Slice 51 of 155
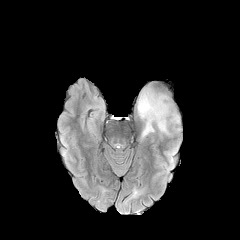
FLAIR MR.
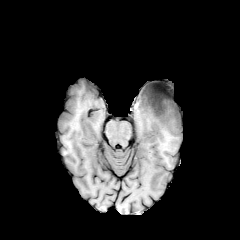
Same slice, T1-weighted MR image.
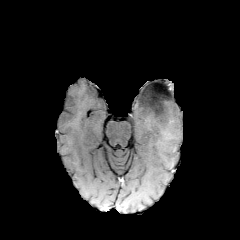
Post-contrast T1-weighted magnetic resonance of the same slice.
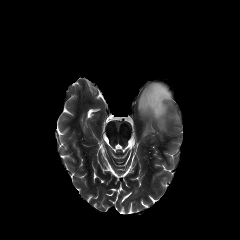
T2-weighted magnetic resonance.
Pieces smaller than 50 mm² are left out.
peritumoral edema: bounding box l=137, t=86, r=179, b=137
necrotic tumor core: bounding box l=143, t=84, r=170, b=115